FLAIR MR image.
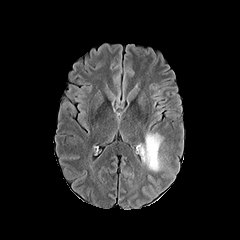
T1-weighted magnetic resonance.
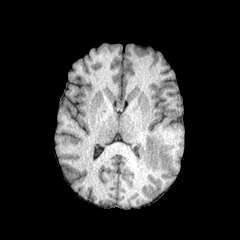
Post-contrast T1-weighted MR.
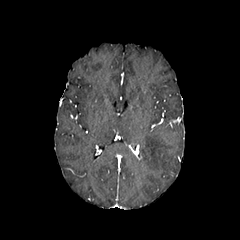
T2-weighted MRI.
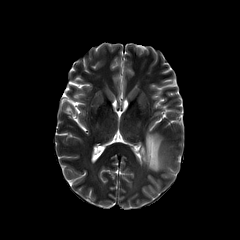
240x240 | Brain | Axial view
peritumoral edema: [140,133,162,171]